FLAIR magnetic resonance.
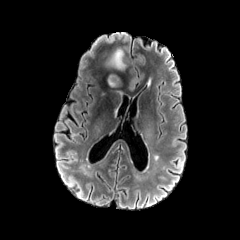
T1-weighted magnetic resonance.
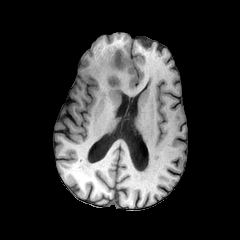
Post-contrast T1-weighted MRI.
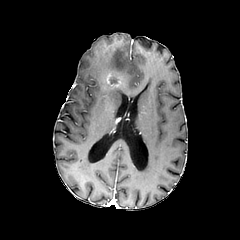
T2-weighted magnetic resonance.
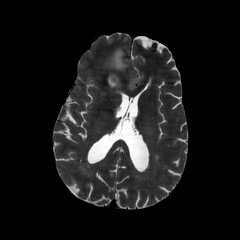
Head
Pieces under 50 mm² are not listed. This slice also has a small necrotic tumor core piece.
peritumoral_edema:
  - bbox(108, 48, 126, 70)
enhancing_tumor:
  - bbox(105, 72, 122, 88)